Axial plane | Head | 240x240 px
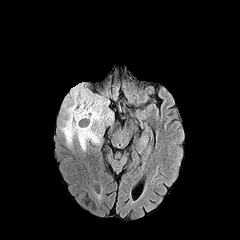
FLAIR MRI.
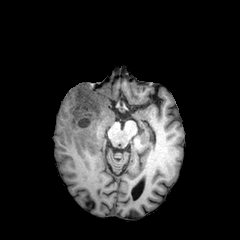
T1-weighted MR of the same slice.
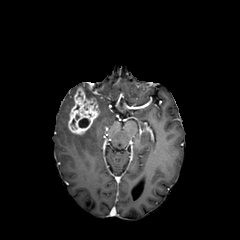
Post-contrast T1-weighted MRI.
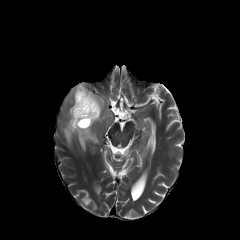
T2-weighted MRI.
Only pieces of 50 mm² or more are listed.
necrotic tumor core at x1=78 y1=118 x2=89 y2=127
enhancing tumor at x1=68 y1=87 x2=99 y2=135
peritumoral edema at x1=60 y1=83 x2=113 y2=150